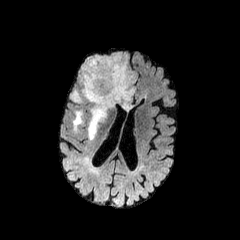
FLAIR magnetic resonance.
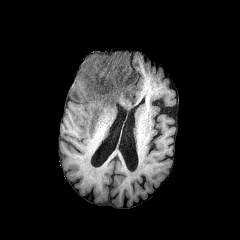
T1-weighted MR image.
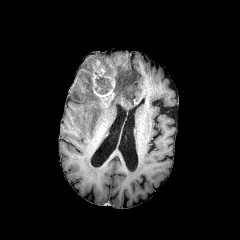
Post-contrast T1-weighted magnetic resonance.
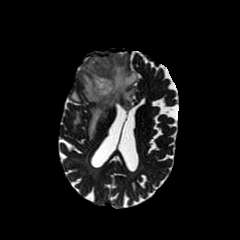
T2-weighted MRI.
Brain. Axial slice. 240x240 px.
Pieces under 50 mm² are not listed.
The largest enhancing tumor region is at 85, 55, 126, 107. The largest necrotic tumor core region appears at 96, 76, 111, 94. 3 peritumoral edema regions appear at 81, 53, 136, 139; 73, 111, 82, 131; 71, 90, 81, 102.